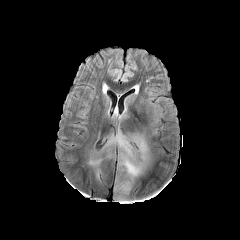
FLAIR magnetic resonance.
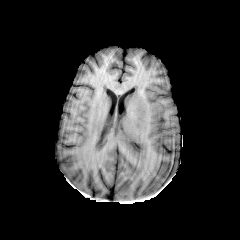
T1-weighted MR of the same slice.
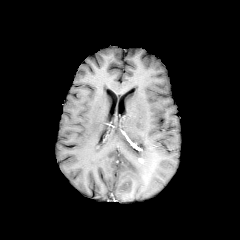
Post-contrast T1-weighted magnetic resonance.
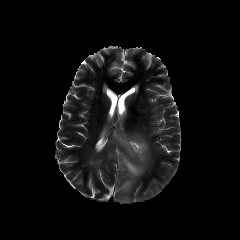
T2-weighted MRI of the same slice.
Axial plane. 240x240 px.
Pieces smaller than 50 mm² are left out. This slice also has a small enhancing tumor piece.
peritumoral edema: {"x1": 106, "y1": 130, "x2": 148, "y2": 179}, {"x1": 121, "y1": 181, "x2": 130, "y2": 190}